FLAIR MR.
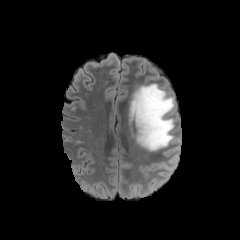
T1-weighted magnetic resonance.
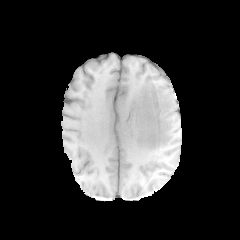
Post-contrast T1-weighted MR.
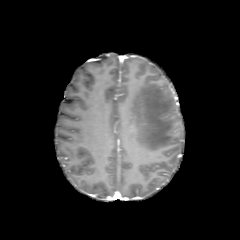
T2-weighted MR.
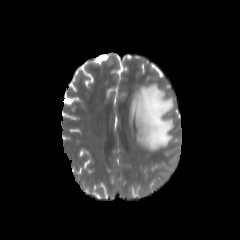
Axial plane, 240x240
The peritumoral edema lies within (130,84,174,150).